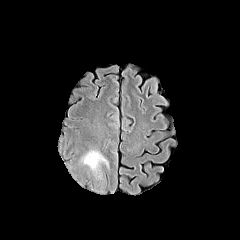
FLAIR MRI.
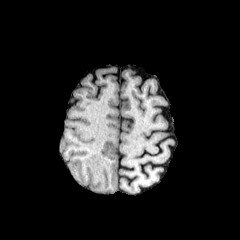
Same slice, T1-weighted MRI.
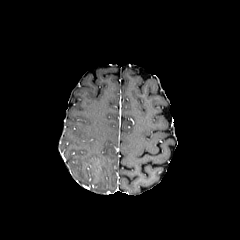
Post-contrast T1-weighted MR.
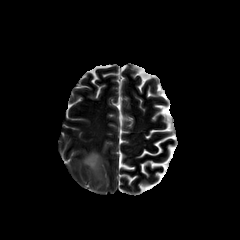
Same slice, T2-weighted MR image.
240x240 px.
<segmentation>
  <peritumoral_edema>x1=80, y1=149, x2=110, y2=179</peritumoral_edema>
</segmentation>